Slice index 128, Head, Image width 240 mm, 240x240 px
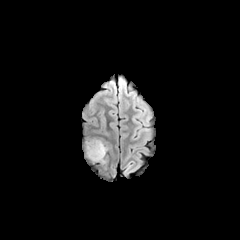
FLAIR MR image.
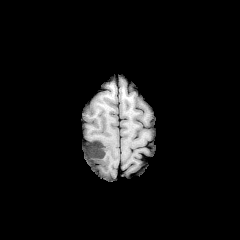
T1-weighted MRI of the same slice.
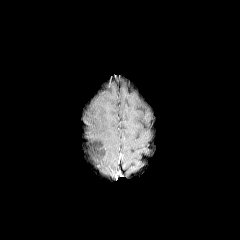
Same slice, post-contrast T1-weighted MRI.
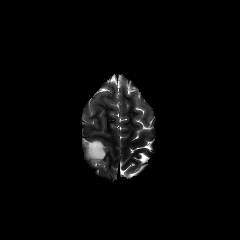
Same slice, T2-weighted MR image.
{"peritumoral_edema": ["[85,140,107,163]"]}